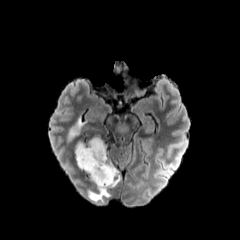
FLAIR MRI.
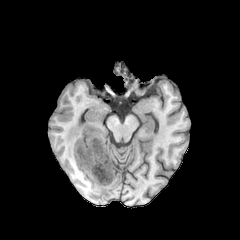
T1-weighted MRI.
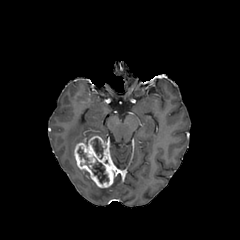
Post-contrast T1-weighted MRI.
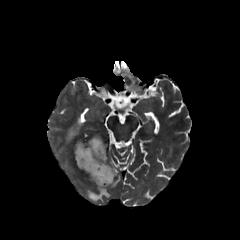
Same slice, T2-weighted MR image.
Axial slice.
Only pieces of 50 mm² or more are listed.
enhancing tumor = 74 135 119 187
peritumoral edema = 108 174 120 187, 67 119 82 141, 88 187 110 201
necrotic tumor core = 91 160 108 183, 77 147 88 160, 92 138 103 159